FLAIR magnetic resonance.
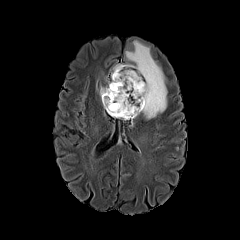
T1-weighted MR image.
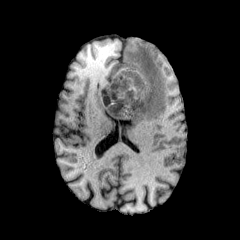
Post-contrast T1-weighted MR image.
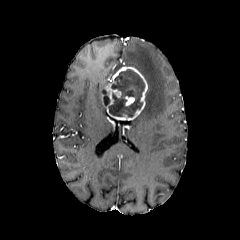
T2-weighted magnetic resonance.
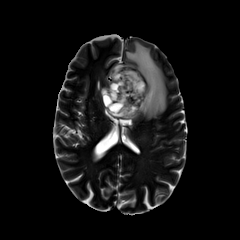
Head
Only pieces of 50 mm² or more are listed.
Annotated regions:
• peritumoral edema: x1=112 y1=40 x2=167 y2=119
• necrotic tumor core: x1=108 y1=69 x2=144 y2=117, x1=102 y1=89 x2=110 y2=106
• enhancing tumor: x1=104 y1=66 x2=147 y2=120, x1=125 y1=96 x2=134 y2=105